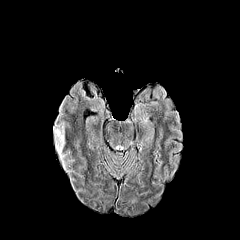
FLAIR MR image.
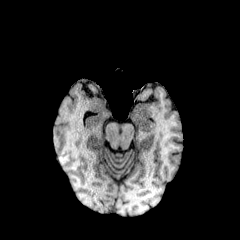
Same slice, T1-weighted MR.
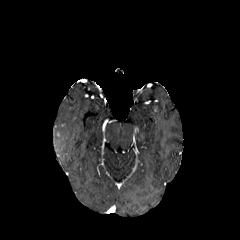
Post-contrast T1-weighted MR.
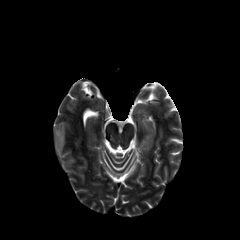
T2-weighted MR.
Image size 240x240; Head; Axial plane
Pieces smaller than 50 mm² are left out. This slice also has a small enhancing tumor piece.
Findings:
* peritumoral edema: [x1=54, y1=121, x2=64, y2=150]